Head. Image width 240 mm, 1.00 mm slice spacing. Axial plane.
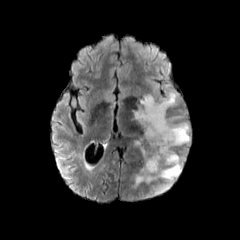
FLAIR MR image.
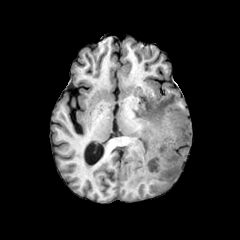
T1-weighted MR image of the same slice.
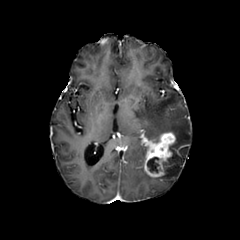
Post-contrast T1-weighted MR of the same slice.
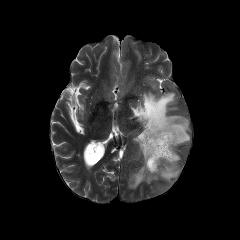
T2-weighted MR.
enhancing tumor — (x1=143, y1=131, x2=176, y2=178)
peritumoral edema — (x1=134, y1=138, x2=145, y2=161), (x1=131, y1=93, x2=190, y2=193)
necrotic tumor core — (x1=147, y1=157, x2=160, y2=172)